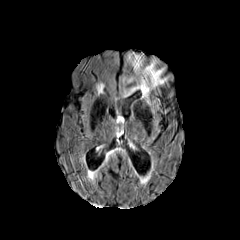
FLAIR magnetic resonance.
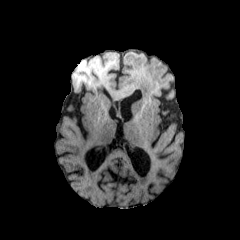
T1-weighted MR image of the same slice.
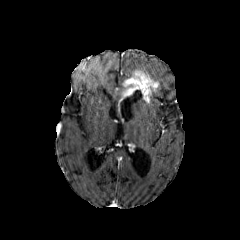
Post-contrast T1-weighted MRI.
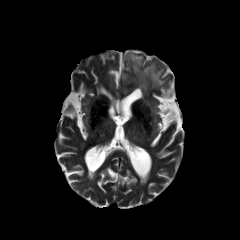
Same slice, T2-weighted MRI.
Brain, Axial slice
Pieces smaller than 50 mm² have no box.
The enhancing tumor lies within box=[123, 70, 158, 102]. The largest peritumoral edema region lies within box=[128, 54, 166, 85].